FLAIR magnetic resonance.
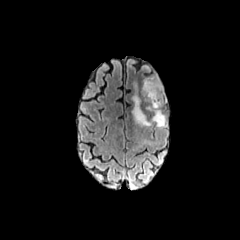
T1-weighted MR.
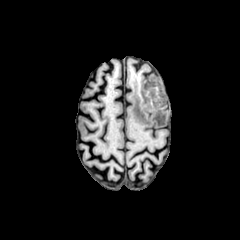
Post-contrast T1-weighted magnetic resonance.
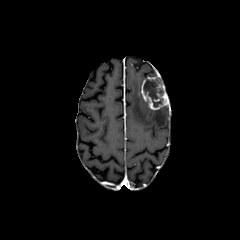
T2-weighted MRI.
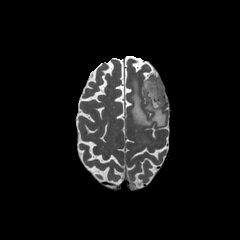
Axial view. Brain.
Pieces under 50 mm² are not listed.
peritumoral edema: bounding box bbox=[131, 82, 166, 127]
enhancing tumor: bounding box bbox=[141, 76, 168, 110]
necrotic tumor core: bounding box bbox=[143, 79, 163, 106]